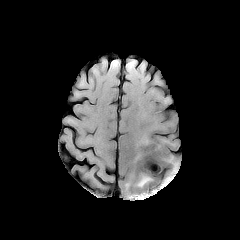
FLAIR MR image.
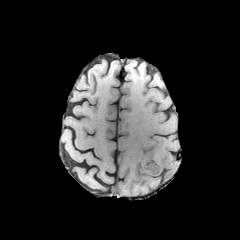
T1-weighted magnetic resonance of the same slice.
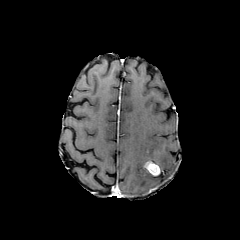
Post-contrast T1-weighted magnetic resonance.
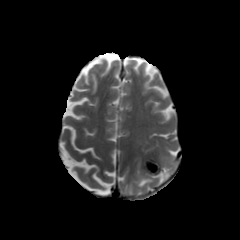
T2-weighted magnetic resonance.
Axial slice, Brain
The enhancing tumor appears at {"x1": 147, "y1": 164, "x2": 159, "y2": 175}. 2 peritumoral edema regions are located at {"x1": 164, "y1": 158, "x2": 177, "y2": 181}, {"x1": 137, "y1": 177, "x2": 151, "y2": 187}.